Brain | Slice 53/155
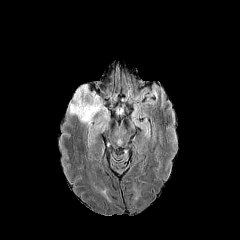
FLAIR magnetic resonance.
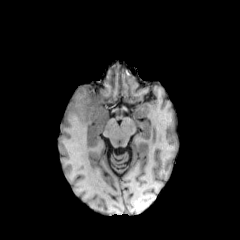
Same slice, T1-weighted MRI.
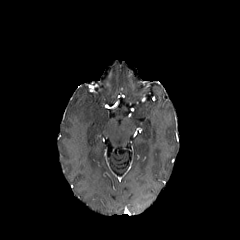
Post-contrast T1-weighted MR image.
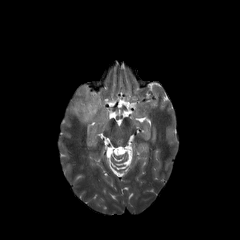
T2-weighted magnetic resonance.
The peritumoral edema is bounded by x1=67, y1=83, x2=110, y2=127.